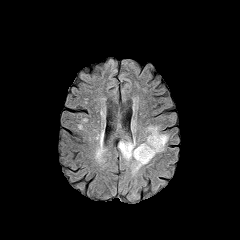
FLAIR MR.
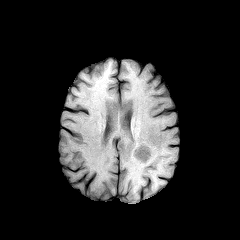
T1-weighted MRI.
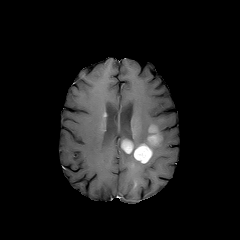
Post-contrast T1-weighted magnetic resonance of the same slice.
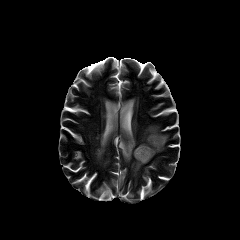
T2-weighted MR image.
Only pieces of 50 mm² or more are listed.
{"enhancing_tumor": ["147 126 161 146", "121 139 133 153", "133 143 152 163"], "peritumoral_edema": ["131 159 145 174", "118 135 142 161", "142 125 168 163"]}